FLAIR MRI.
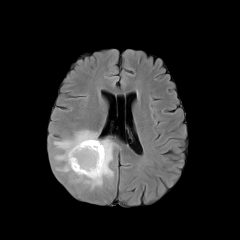
T1-weighted MRI.
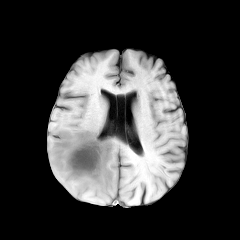
Post-contrast T1-weighted MR.
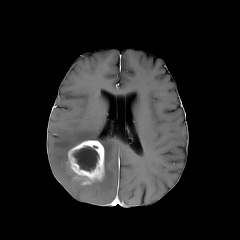
T2-weighted magnetic resonance.
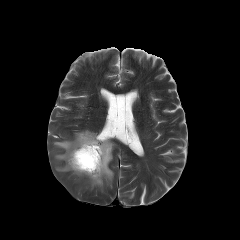
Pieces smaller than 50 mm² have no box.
<segmentation>
  <peritumoral_edema><box>53,129,116,189</box></peritumoral_edema>
  <enhancing_tumor><box>67,140,105,184</box></enhancing_tumor>
  <necrotic_tumor_core><box>73,146,98,171</box></necrotic_tumor_core>
</segmentation>